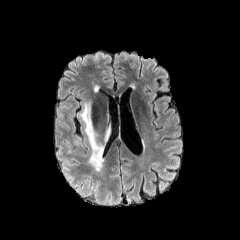
FLAIR MRI.
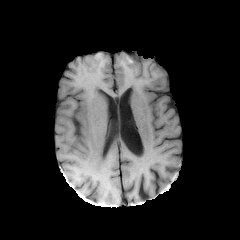
T1-weighted MR.
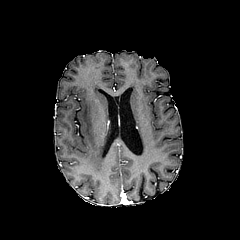
Same slice, post-contrast T1-weighted MR image.
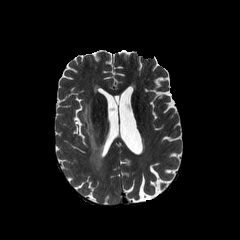
T2-weighted MRI.
Brain
The peritumoral edema is at 81 101 109 171.